FLAIR MRI.
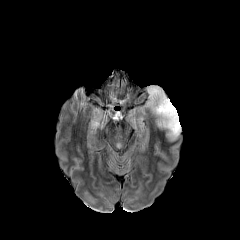
T1-weighted MR.
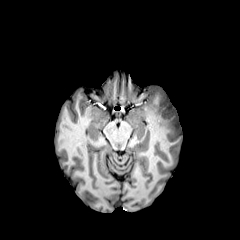
Post-contrast T1-weighted MRI.
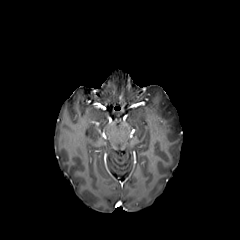
T2-weighted MRI.
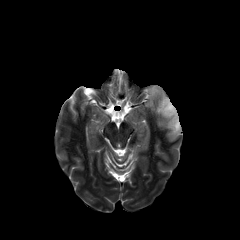
240x240, Axial plane
peritumoral edema: box(148, 86, 181, 139)